Axial view. Slice 93/155. 240x240 px.
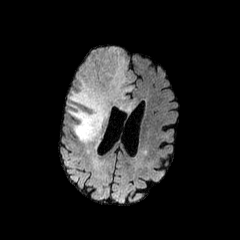
FLAIR magnetic resonance.
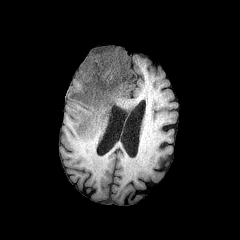
T1-weighted MR.
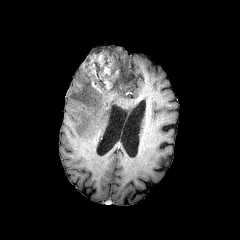
Same slice, post-contrast T1-weighted MR.
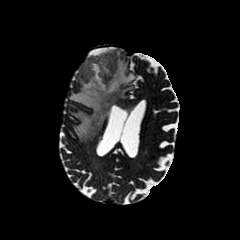
Same slice, T2-weighted MR image.
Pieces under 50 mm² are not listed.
Findings:
- enhancing tumor: bbox(82, 49, 119, 105)
- necrotic tumor core: bbox(94, 79, 105, 90); bbox(94, 61, 102, 77)
- peritumoral edema: bbox(69, 47, 135, 143)